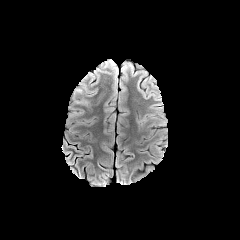
FLAIR MR.
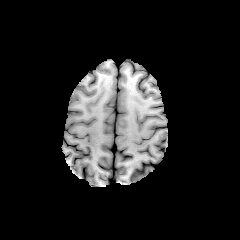
Same slice, T1-weighted MR image.
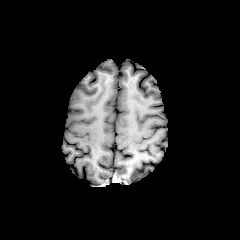
Post-contrast T1-weighted MR image.
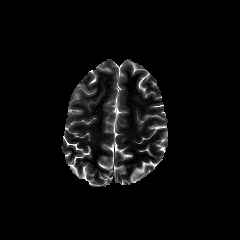
T2-weighted MR image.
Brain; Axial slice
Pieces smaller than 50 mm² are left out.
peritumoral edema: left=73, top=83, right=87, bottom=97